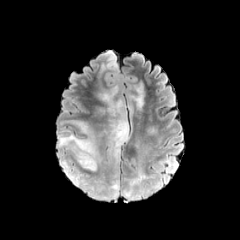
FLAIR magnetic resonance.
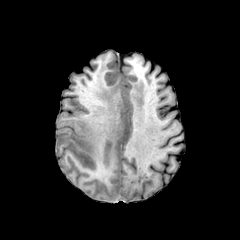
T1-weighted MR.
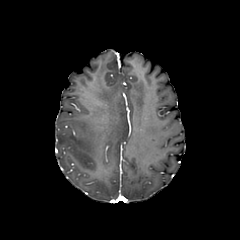
Same slice, post-contrast T1-weighted MR image.
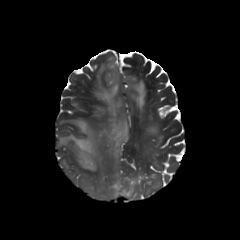
Same slice, T2-weighted MR image.
240x240, Head, Axial slice
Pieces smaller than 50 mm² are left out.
The 6 largest peritumoral edema regions are bounded by <bbox>61, 160, 68, 172</bbox>, <bbox>67, 173, 79, 184</bbox>, <bbox>121, 172, 145, 198</bbox>, <bbox>132, 82, 144, 109</bbox>, <bbox>90, 171, 120, 199</bbox>, <bbox>58, 85, 128, 171</bbox>.